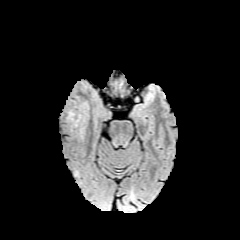
FLAIR MR image.
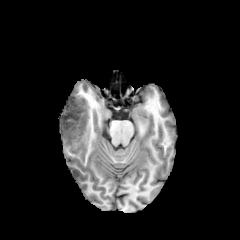
T1-weighted MR image of the same slice.
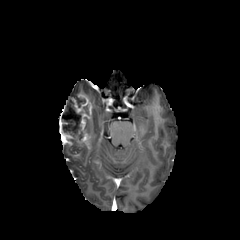
Post-contrast T1-weighted magnetic resonance.
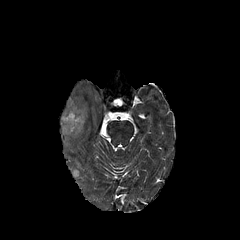
Same slice, T2-weighted MR.
Brain
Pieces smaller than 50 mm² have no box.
{
  "enhancing_tumor": [
    "box=[59, 93, 91, 149]"
  ],
  "necrotic_tumor_core": [
    "box=[74, 97, 85, 107]",
    "box=[62, 100, 82, 140]"
  ]
}